FLAIR MRI.
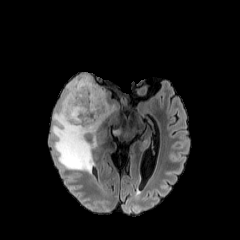
T1-weighted magnetic resonance.
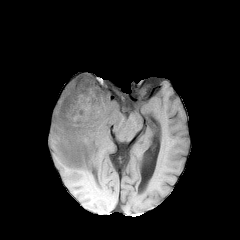
Post-contrast T1-weighted MRI.
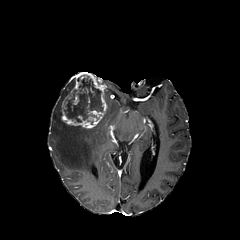
T2-weighted MRI.
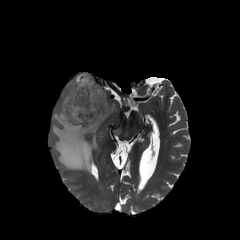
Brain
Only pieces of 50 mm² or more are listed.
- necrotic tumor core: box=[64, 76, 103, 122]
- enhancing tumor: box=[61, 72, 107, 128]
- peritumoral edema: box=[52, 77, 115, 172]